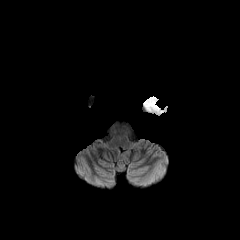
FLAIR magnetic resonance.
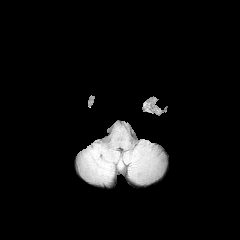
T1-weighted MR of the same slice.
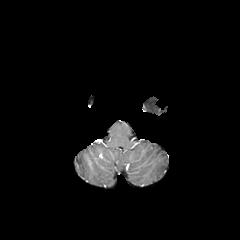
Post-contrast T1-weighted magnetic resonance of the same slice.
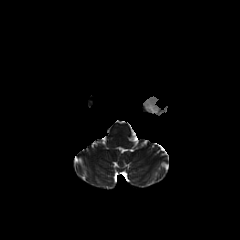
Same slice, T2-weighted MR image.
Head
Annotated regions:
* peritumoral edema: left=143, top=96, right=167, bottom=115